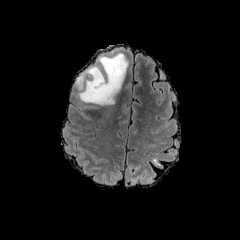
FLAIR MR.
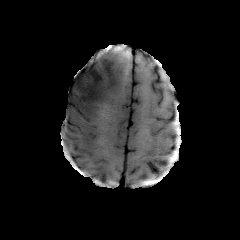
T1-weighted MR image.
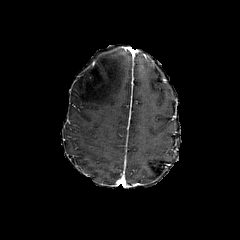
Post-contrast T1-weighted MRI of the same slice.
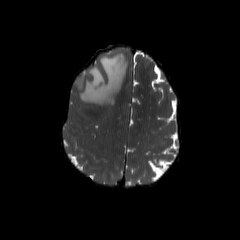
T2-weighted MR.
<segmentation>
  <peritumoral_edema>74:53:128:105</peritumoral_edema>
</segmentation>